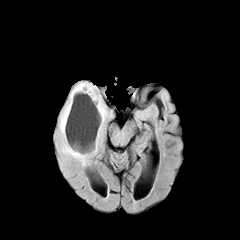
FLAIR MR image.
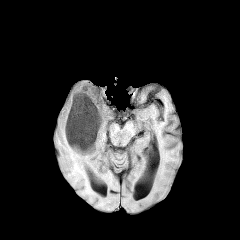
T1-weighted magnetic resonance.
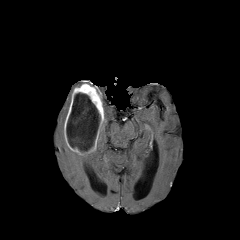
Same slice, post-contrast T1-weighted magnetic resonance.
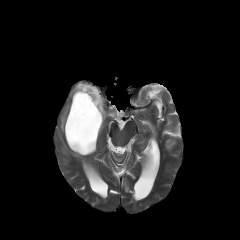
T2-weighted MR image.
Axial plane.
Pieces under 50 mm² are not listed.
<segmentation>
  <necrotic_tumor_core>[66, 93, 100, 152]</necrotic_tumor_core>
  <enhancing_tumor>[64, 83, 105, 155]</enhancing_tumor>
  <peritumoral_edema>[58, 90, 105, 163], [103, 101, 113, 122]</peritumoral_edema>
</segmentation>